FLAIR MR image.
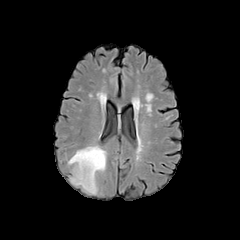
T1-weighted MRI.
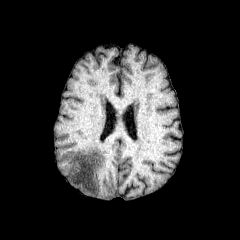
Post-contrast T1-weighted MR image.
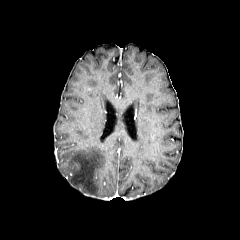
T2-weighted MR image.
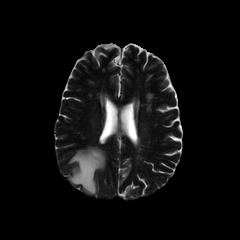
Axial slice
{
  "peritumoral_edema": [
    "(x1=68, y1=146, x2=105, y2=194)"
  ]
}